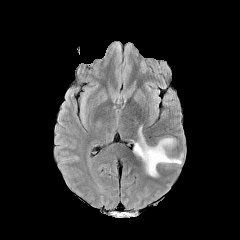
FLAIR MRI.
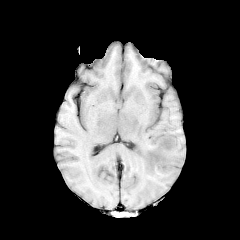
Same slice, T1-weighted magnetic resonance.
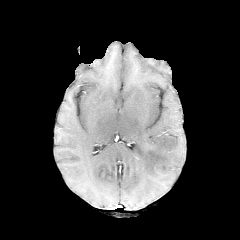
Post-contrast T1-weighted magnetic resonance.
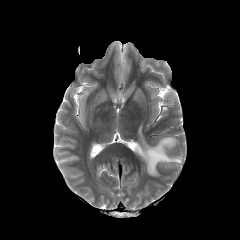
Same slice, T2-weighted MR.
240x240
peritumoral edema: [133, 126, 182, 176]